FLAIR MRI.
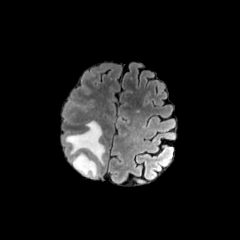
T1-weighted MR.
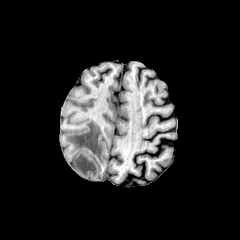
Post-contrast T1-weighted MR image.
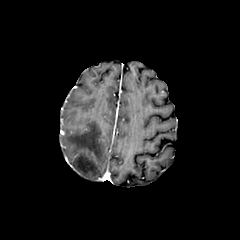
T2-weighted magnetic resonance.
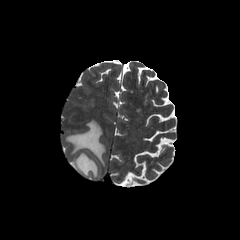
Brain | Axial slice
2 peritumoral edema regions are bounded by rect(73, 153, 97, 177); rect(66, 121, 104, 164).